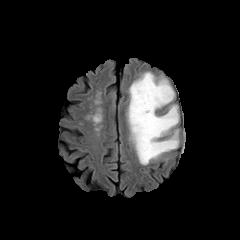
FLAIR MR.
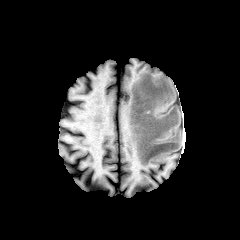
T1-weighted MR image.
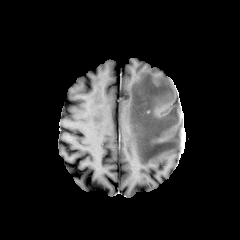
Post-contrast T1-weighted MR image of the same slice.
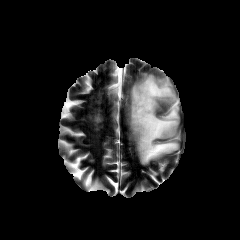
Same slice, T2-weighted MR.
Axial view.
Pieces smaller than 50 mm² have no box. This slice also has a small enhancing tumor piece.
peritumoral edema = x1=128, y1=72, x2=179, y2=165